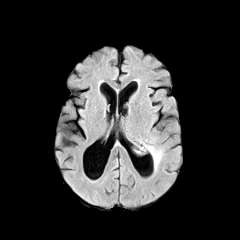
FLAIR MRI.
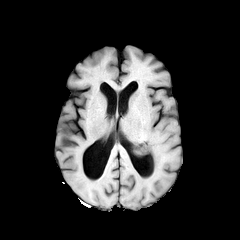
T1-weighted MRI.
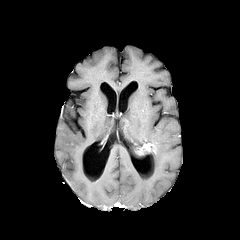
Post-contrast T1-weighted MR image.
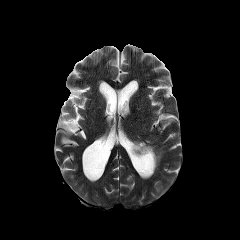
T2-weighted MR.
Brain
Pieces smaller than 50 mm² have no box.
Annotated regions:
* enhancing tumor: box(138, 143, 155, 153)
* peritumoral edema: box(151, 145, 162, 169)